FLAIR MR.
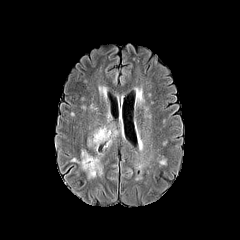
T1-weighted MR image.
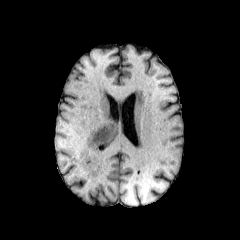
Post-contrast T1-weighted magnetic resonance.
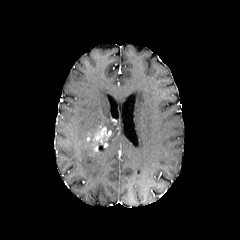
T2-weighted MRI.
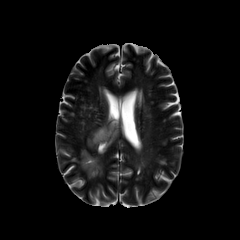
Axial view
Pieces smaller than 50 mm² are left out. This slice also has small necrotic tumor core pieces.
- peritumoral edema: rect(107, 128, 117, 138); rect(81, 150, 102, 178)
- enhancing tumor: rect(90, 126, 111, 151)